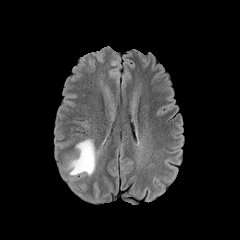
FLAIR magnetic resonance.
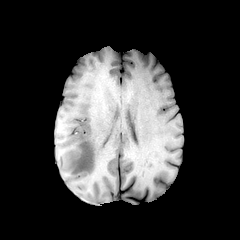
T1-weighted MRI.
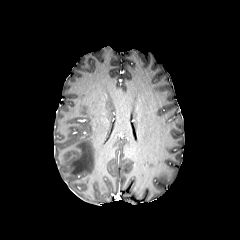
Post-contrast T1-weighted MRI.
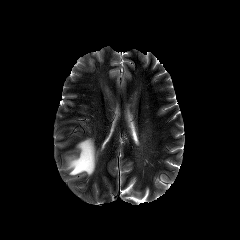
Same slice, T2-weighted MR.
Head.
{"peritumoral_edema": ["67 139 98 175"]}